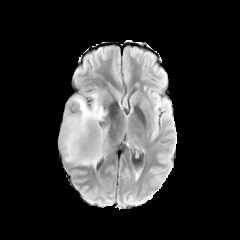
FLAIR MRI.
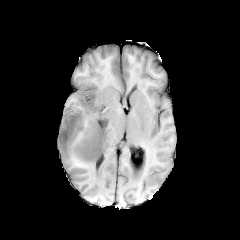
Same slice, T1-weighted magnetic resonance.
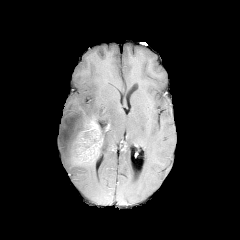
Post-contrast T1-weighted MR image of the same slice.
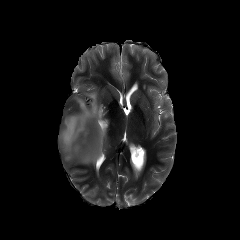
Same slice, T2-weighted MRI.
Head.
The enhancing tumor is at [x1=75, y1=119, x2=108, y2=163]. The peritumoral edema is at [x1=59, y1=92, x2=107, y2=166].